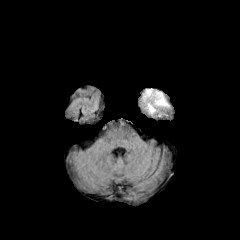
FLAIR MR image.
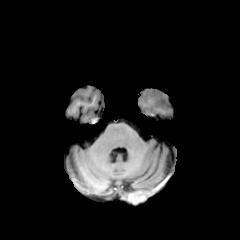
Same slice, T1-weighted MR image.
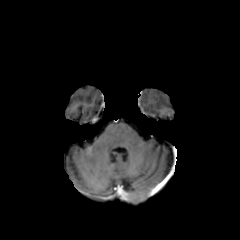
Same slice, post-contrast T1-weighted MRI.
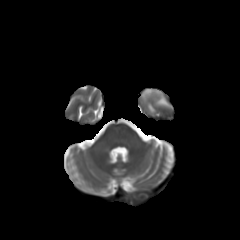
T2-weighted MR image.
{
  "peritumoral_edema": [
    "[x1=139, y1=90, x2=170, y2=117]"
  ]
}